Axial view. Head.
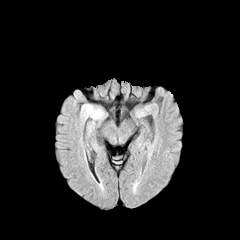
FLAIR magnetic resonance.
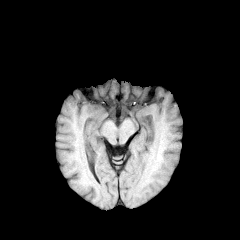
T1-weighted MRI.
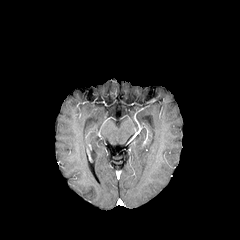
Post-contrast T1-weighted magnetic resonance.
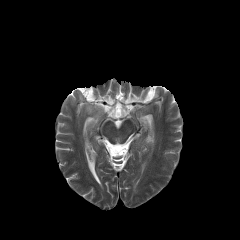
T2-weighted MR image of the same slice.
2 peritumoral edema regions are located at 94, 110, 103, 119; 79, 105, 91, 119.